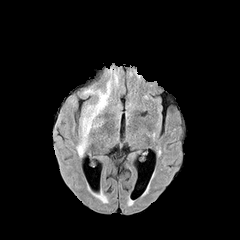
FLAIR MR.
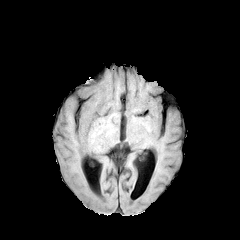
T1-weighted magnetic resonance of the same slice.
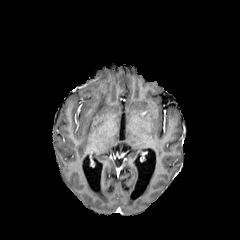
Post-contrast T1-weighted MR image.
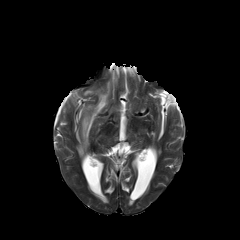
T2-weighted magnetic resonance.
Brain
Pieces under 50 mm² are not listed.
* peritumoral edema: [77, 80, 112, 155], [56, 103, 63, 133], [95, 118, 103, 137]